Slice index 103 | Image width 240 mm, 1.00 mm slice spacing
FLAIR magnetic resonance.
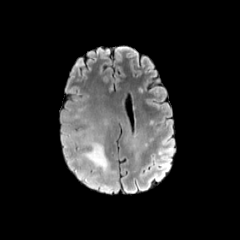
T1-weighted MR image.
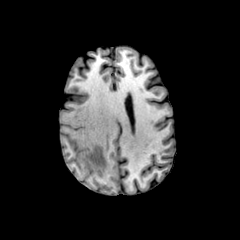
Post-contrast T1-weighted MRI.
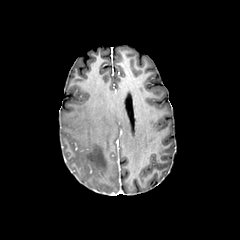
T2-weighted MR.
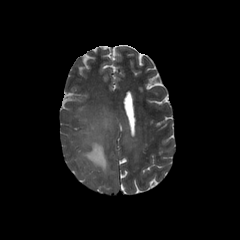
<segmentation>
  <peritumoral_edema>(72, 124, 114, 178), (86, 174, 97, 184)</peritumoral_edema>
</segmentation>